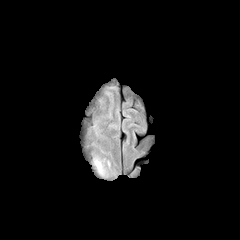
FLAIR MR image.
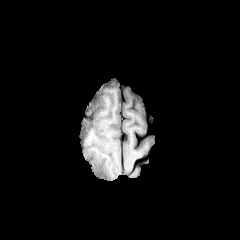
T1-weighted MRI of the same slice.
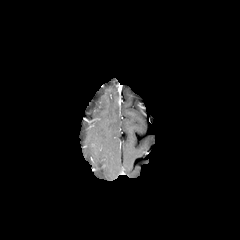
Same slice, post-contrast T1-weighted MR image.
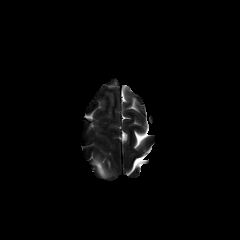
T2-weighted MRI.
Brain
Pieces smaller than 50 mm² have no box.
peritumoral edema = bbox(94, 158, 106, 176)